FLAIR MR.
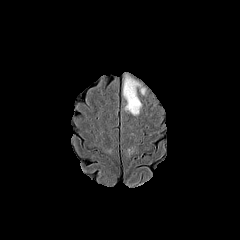
T1-weighted MR image.
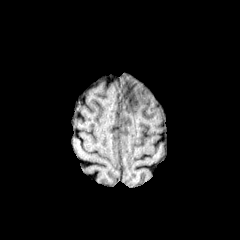
Post-contrast T1-weighted magnetic resonance.
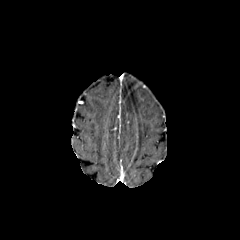
T2-weighted MR.
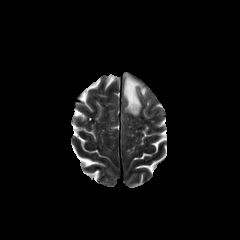
Head, Axial plane
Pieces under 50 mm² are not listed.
peritumoral_edema:
  - 123:75:141:115